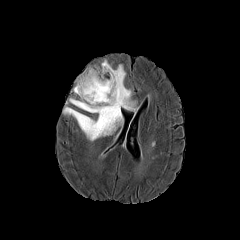
FLAIR MR.
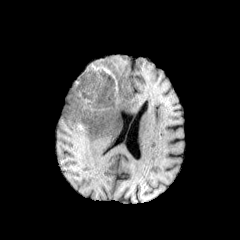
T1-weighted magnetic resonance.
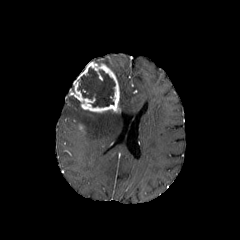
Post-contrast T1-weighted MR image of the same slice.
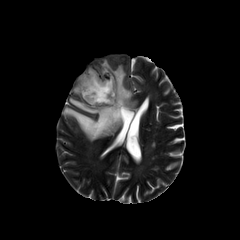
T2-weighted magnetic resonance.
Brain
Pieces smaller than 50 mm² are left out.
The 3 largest peritumoral edema regions are located at (left=69, top=97, right=81, bottom=108), (left=103, top=60, right=137, bottom=111), (left=63, top=106, right=123, bottom=141). The necrotic tumor core appears at (left=77, top=67, right=115, bottom=107). The largest enhancing tumor region is bounded by (left=74, top=62, right=120, bottom=112).